Image width 240 mm.
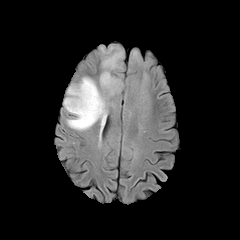
FLAIR magnetic resonance.
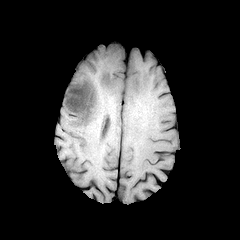
T1-weighted MR image.
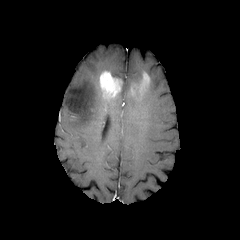
Post-contrast T1-weighted magnetic resonance of the same slice.
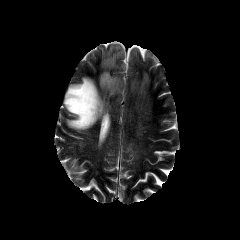
Same slice, T2-weighted MRI.
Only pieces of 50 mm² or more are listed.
peritumoral edema — x1=63, y1=77, x2=108, y2=130; x1=100, y1=46, x2=123, y2=71
enhancing tumor — x1=131, y1=73, x2=149, y2=93; x1=99, y1=71, x2=122, y2=99